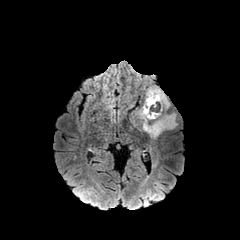
FLAIR MR.
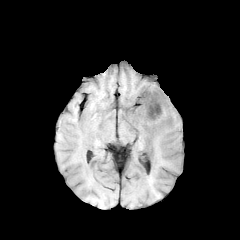
T1-weighted MR.
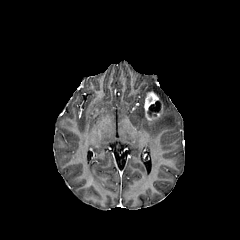
Post-contrast T1-weighted magnetic resonance.
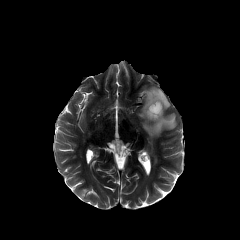
Same slice, T2-weighted MR image.
Brain, Axial plane
necrotic tumor core at {"x1": 149, "y1": 101, "x2": 161, "y2": 112}
peritumoral edema at {"x1": 136, "y1": 86, "x2": 177, "y2": 138}
enhancing tumor at {"x1": 144, "y1": 91, "x2": 163, "y2": 120}